FLAIR magnetic resonance.
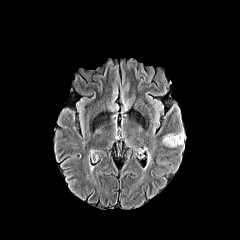
T1-weighted magnetic resonance.
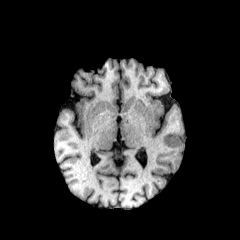
Post-contrast T1-weighted magnetic resonance.
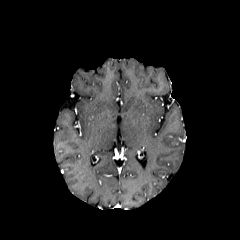
T2-weighted MRI.
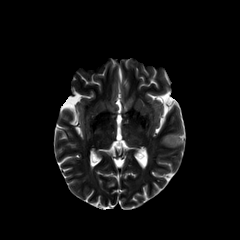
Axial view, Brain
peritumoral edema = region(163, 129, 184, 147)
enhancing tumor = region(170, 136, 180, 143)